Brain, Slice 58 of 155, Image size 240x240
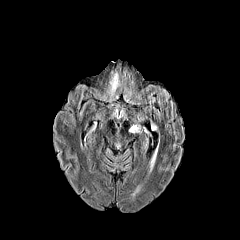
FLAIR MRI.
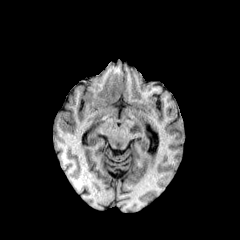
T1-weighted MR image of the same slice.
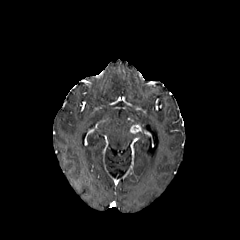
Same slice, post-contrast T1-weighted magnetic resonance.
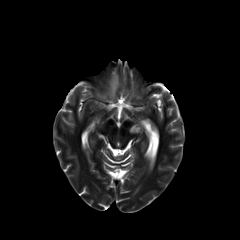
T2-weighted magnetic resonance.
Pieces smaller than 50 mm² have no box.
peritumoral edema at [108,72,120,101]
enhancing tumor at [130,124,141,133]